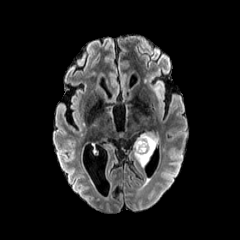
FLAIR MRI.
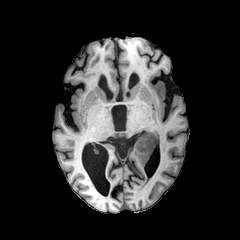
Same slice, T1-weighted MRI.
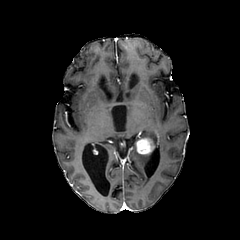
Post-contrast T1-weighted magnetic resonance of the same slice.
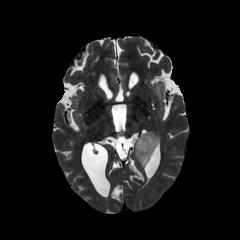
Same slice, T2-weighted MR image.
Axial view
enhancing_tumor:
  - bbox=[136, 137, 154, 154]
peritumoral_edema:
  - bbox=[137, 132, 158, 148]
  - bbox=[134, 142, 153, 166]